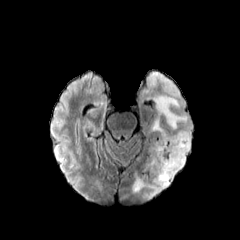
FLAIR MR image.
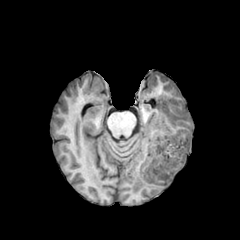
T1-weighted MR image.
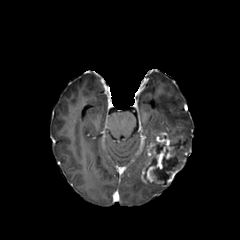
Same slice, post-contrast T1-weighted magnetic resonance.
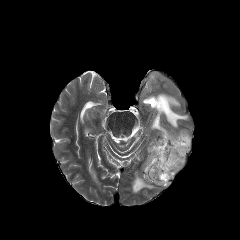
Same slice, T2-weighted MRI.
Brain; 240x240; Axial plane
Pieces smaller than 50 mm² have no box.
{
  "necrotic_tumor_core": [
    "(x1=152, y1=139, x2=185, y2=184)",
    "(x1=144, y1=142, x2=165, y2=179)"
  ],
  "peritumoral_edema": [
    "(x1=169, y1=129, x2=190, y2=150)",
    "(x1=155, y1=95, x2=187, y2=129)",
    "(x1=132, y1=172, x2=166, y2=193)",
    "(x1=151, y1=117, x2=168, y2=133)"
  ],
  "enhancing_tumor": [
    "(x1=141, y1=131, x2=188, y2=186)"
  ]
}